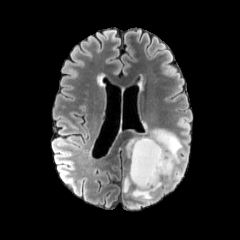
FLAIR MR.
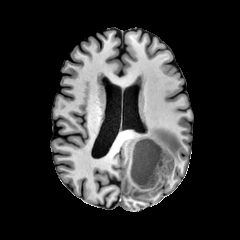
T1-weighted MR of the same slice.
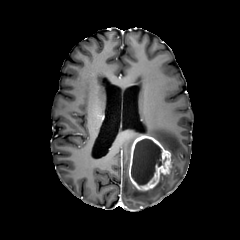
Post-contrast T1-weighted magnetic resonance.
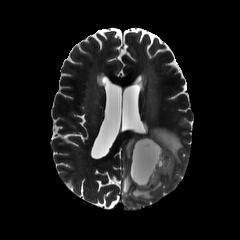
T2-weighted MR image.
Head, Axial plane
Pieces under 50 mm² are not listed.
The enhancing tumor is bounded by box(128, 135, 171, 191). The largest necrotic tumor core region appears at box(131, 139, 161, 185). 3 peritumoral edema regions appear at box(123, 173, 131, 193); box(126, 123, 182, 176); box(130, 177, 162, 202).